240x240 px. Slice index 115.
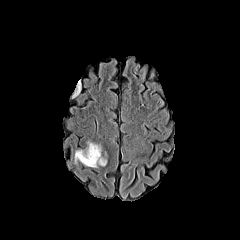
FLAIR magnetic resonance.
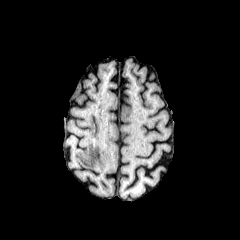
T1-weighted magnetic resonance.
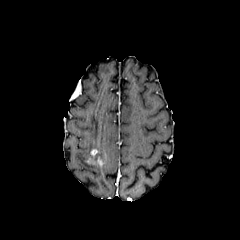
Post-contrast T1-weighted MR of the same slice.
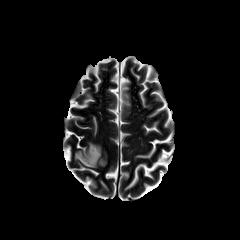
T2-weighted MR image.
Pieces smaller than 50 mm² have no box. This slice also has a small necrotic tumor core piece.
enhancing tumor: [86, 149, 103, 165] | peritumoral edema: [73, 139, 103, 168], [101, 151, 108, 167]